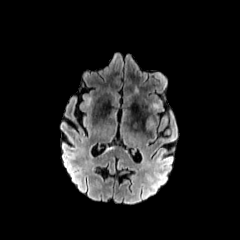
FLAIR MR image.
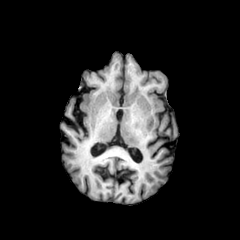
T1-weighted MRI of the same slice.
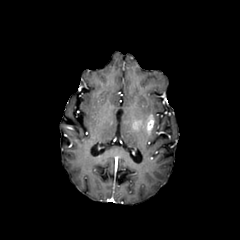
Post-contrast T1-weighted MR.
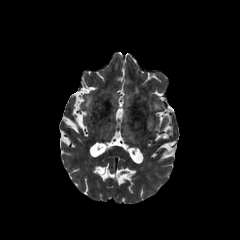
T2-weighted MRI of the same slice.
Brain, 240x240
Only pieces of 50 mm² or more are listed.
enhancing tumor at 146,115,154,132